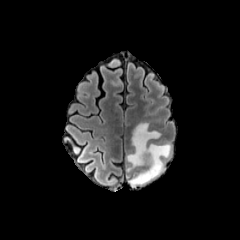
FLAIR magnetic resonance.
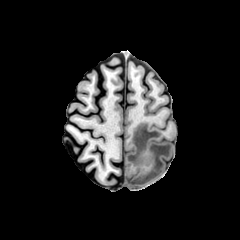
Same slice, T1-weighted MR image.
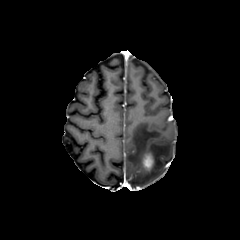
Same slice, post-contrast T1-weighted MR.
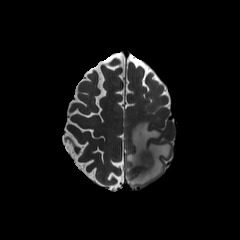
T2-weighted MRI.
Axial slice; 240x240 px
The peritumoral edema lies within left=126, top=122, right=172, bottom=187. The enhancing tumor is located at left=142, top=153, right=154, bottom=171.